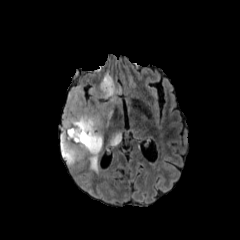
FLAIR MR.
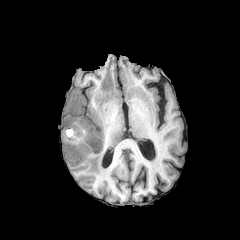
T1-weighted MRI.
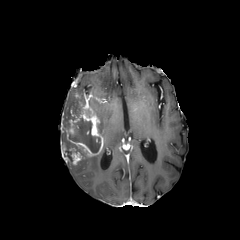
Post-contrast T1-weighted MR image.
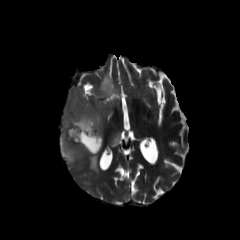
Same slice, T2-weighted MR image.
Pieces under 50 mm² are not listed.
enhancing tumor — box=[60, 94, 103, 165]
necrotic tumor core — box=[62, 139, 80, 161]; box=[66, 117, 100, 152]
peritumoral edema — box=[85, 73, 122, 135]; box=[63, 85, 84, 111]; box=[108, 129, 122, 149]; box=[88, 148, 104, 173]